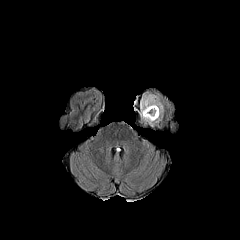
FLAIR MR.
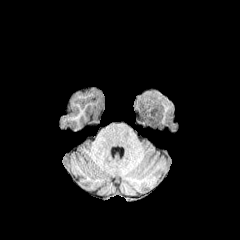
Same slice, T1-weighted magnetic resonance.
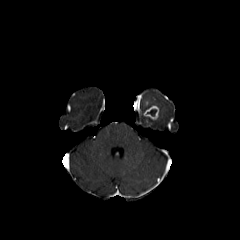
Post-contrast T1-weighted MR image.
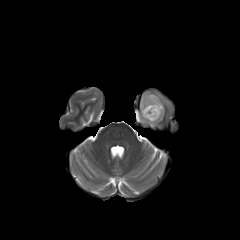
T2-weighted MR.
Axial slice
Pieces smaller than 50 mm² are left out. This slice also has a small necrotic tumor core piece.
enhancing tumor — left=143, top=105, right=159, bottom=119
peritumoral edema — left=140, top=92, right=164, bottom=126